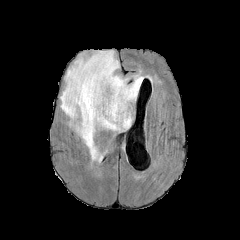
FLAIR MR image.
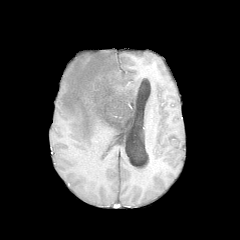
T1-weighted MR image.
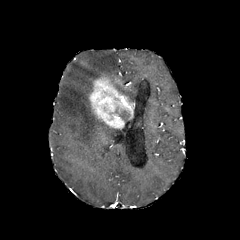
Same slice, post-contrast T1-weighted MRI.
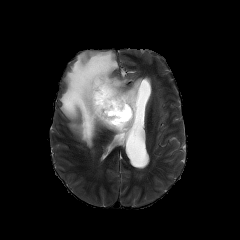
Same slice, T2-weighted magnetic resonance.
240x240 px | Axial view | Head
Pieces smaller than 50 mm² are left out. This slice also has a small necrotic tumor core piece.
enhancing tumor: [x1=88, y1=75, x2=134, y2=129]
peritumoral edema: [x1=60, y1=50, x2=151, y2=161]